FLAIR MR image.
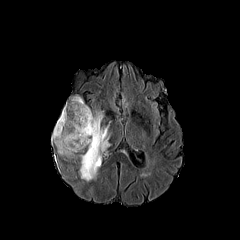
T1-weighted MR.
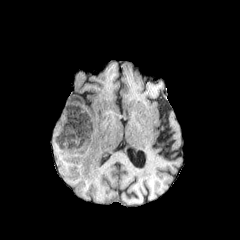
Post-contrast T1-weighted MR image.
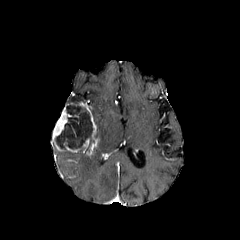
T2-weighted MR.
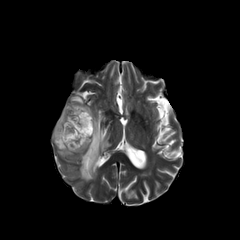
Axial view
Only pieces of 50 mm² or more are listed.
<segmentation>
  <peritumoral_edema>region(58, 150, 73, 156); region(80, 113, 110, 181); region(70, 95, 83, 101)</peritumoral_edema>
  <enhancing_tumor>region(82, 138, 89, 152); region(79, 102, 99, 156); region(52, 104, 71, 151)</enhancing_tumor>
  <necrotic_tumor_core>region(55, 102, 92, 151)</necrotic_tumor_core>
</segmentation>